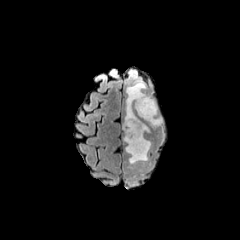
FLAIR magnetic resonance.
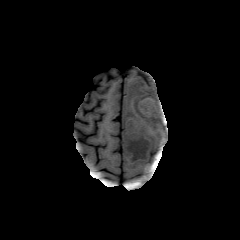
T1-weighted MR.
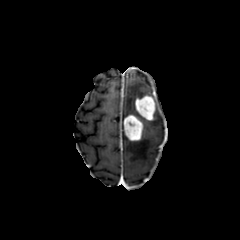
Post-contrast T1-weighted MRI.
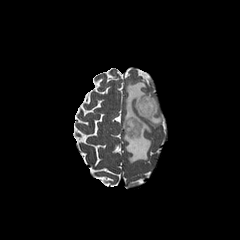
T2-weighted magnetic resonance.
Image size 240x240 | Brain | Axial plane
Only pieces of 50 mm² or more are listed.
Findings:
* peritumoral edema: (x1=149, y1=103, x2=162, y2=126), (x1=125, y1=79, x2=146, y2=117), (x1=124, y1=123, x2=151, y2=163)
* enhancing tumor: (x1=135, y1=95, x2=155, y2=120), (x1=124, y1=114, x2=143, y2=140)